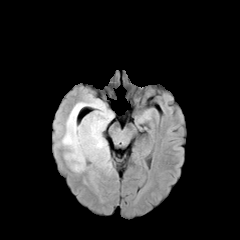
FLAIR magnetic resonance.
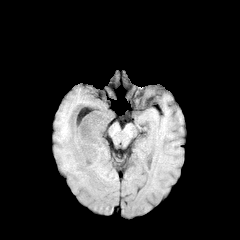
T1-weighted magnetic resonance.
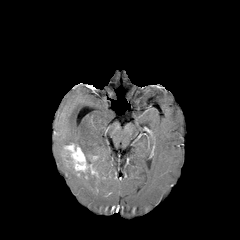
Post-contrast T1-weighted MR.
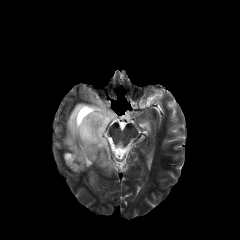
T2-weighted MR image of the same slice.
Head.
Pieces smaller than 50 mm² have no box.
The largest enhancing tumor region appears at 64:143:95:174. The necrotic tumor core is at 65:150:72:166. 3 peritumoral edema regions are bounded by 87:169:97:184, 63:152:81:174, 58:94:114:174.